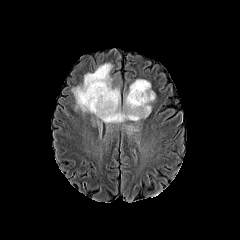
FLAIR MR image.
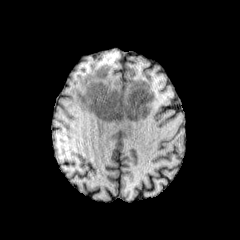
T1-weighted MR image of the same slice.
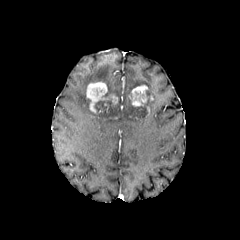
Same slice, post-contrast T1-weighted MR image.
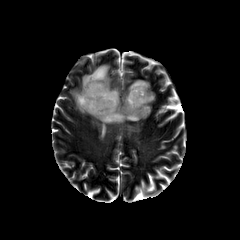
Same slice, T2-weighted MR image.
Axial slice | Head
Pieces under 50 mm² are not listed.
<segmentation>
  <peritumoral_edema>l=72, t=63, r=146, b=129; l=125, t=125, r=135, b=134; l=123, t=79, r=155, b=115</peritumoral_edema>
  <necrotic_tumor_core>l=94, t=92, r=116, b=113; l=111, t=102, r=147, b=119</necrotic_tumor_core>
  <enhancing_tumor>l=110, t=94, r=117, b=104; l=86, t=81, r=108, b=113; l=128, t=85, r=147, b=106</enhancing_tumor>
</segmentation>